Brain; Slice 90 of 155
FLAIR MRI.
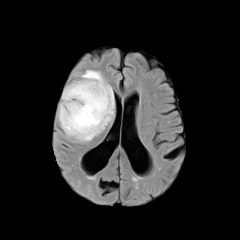
T1-weighted MR image.
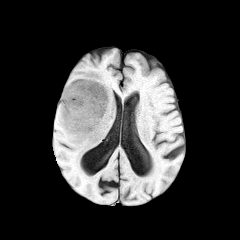
Post-contrast T1-weighted MRI.
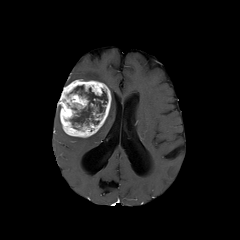
T2-weighted MRI.
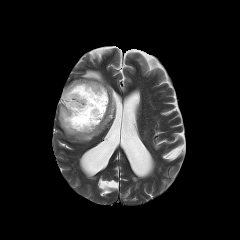
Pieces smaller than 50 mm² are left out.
The largest peritumoral edema region is bounded by <bbox>65, 70, 114, 142</bbox>. The largest necrotic tumor core region lies within <bbox>70, 85, 107, 124</bbox>. The largest enhancing tumor region is bounded by <bbox>58, 79, 111, 137</bbox>.